FLAIR MR image.
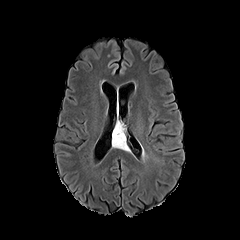
T1-weighted magnetic resonance.
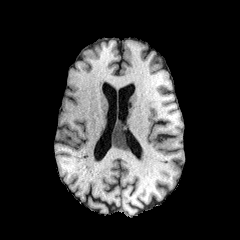
Post-contrast T1-weighted MR image.
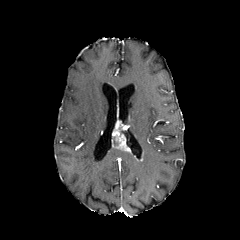
T2-weighted MR.
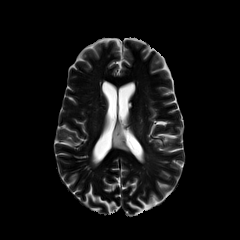
240x240 px; Axial view
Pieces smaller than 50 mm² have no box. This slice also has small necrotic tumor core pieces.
enhancing tumor: bbox=[112, 120, 130, 152]